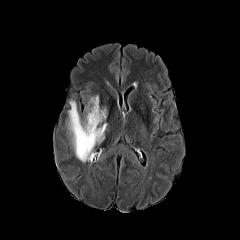
FLAIR magnetic resonance.
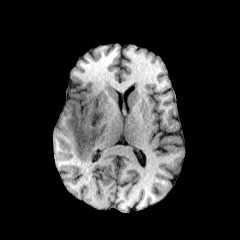
T1-weighted MR of the same slice.
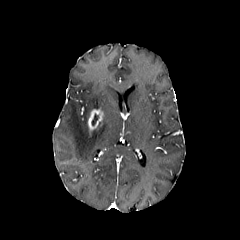
Post-contrast T1-weighted MR of the same slice.
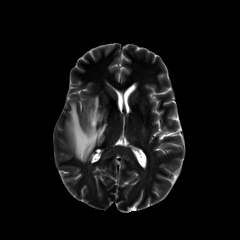
T2-weighted MRI.
Head
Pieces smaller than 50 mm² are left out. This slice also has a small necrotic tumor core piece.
Annotated regions:
* peritumoral edema: box(66, 101, 107, 162); box(85, 95, 99, 120)
* enhancing tumor: box(87, 109, 104, 132)